FLAIR MR image.
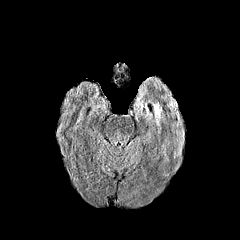
T1-weighted MR.
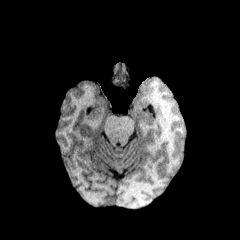
Post-contrast T1-weighted MR image.
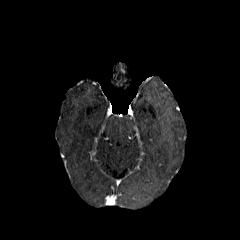
T2-weighted magnetic resonance.
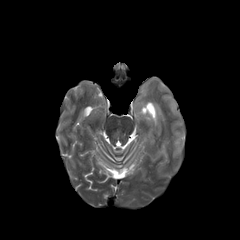
peritumoral edema at box=[154, 105, 161, 117]